FLAIR MR.
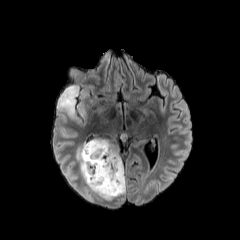
T1-weighted MRI.
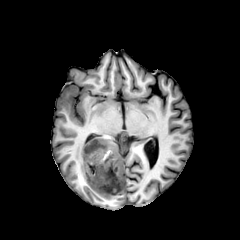
Post-contrast T1-weighted MR.
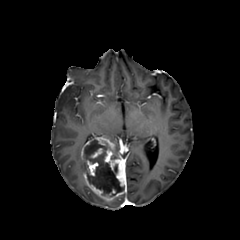
T2-weighted MR.
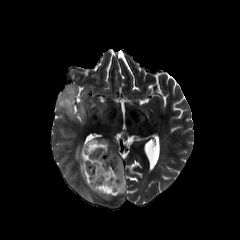
Image size 240x240 | Brain
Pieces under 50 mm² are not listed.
Annotated regions:
* peritumoral edema: bbox=[57, 85, 79, 116]; bbox=[83, 186, 102, 201]; bbox=[76, 147, 86, 179]
* necrotic tumor core: bbox=[84, 140, 124, 196]
* enhancing tumor: bbox=[81, 137, 126, 201]; bbox=[91, 148, 102, 158]